FLAIR MRI.
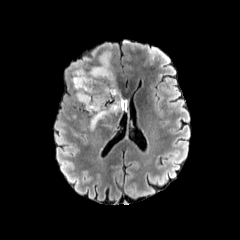
T1-weighted MR image.
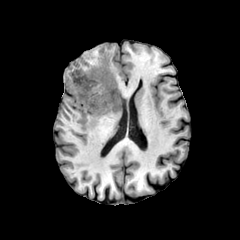
Post-contrast T1-weighted MR.
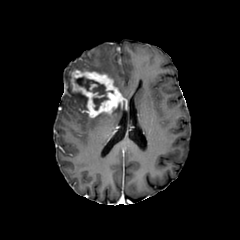
T2-weighted magnetic resonance.
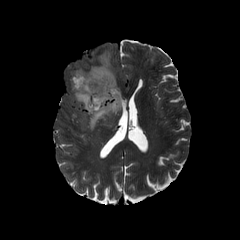
Brain.
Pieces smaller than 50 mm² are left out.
The 4 largest peritumoral edema regions are located at 112, 102, 126, 113; 89, 113, 116, 130; 89, 51, 116, 86; 73, 92, 87, 110. The enhancing tumor is located at 71, 70, 127, 117. The largest necrotic tumor core region is at 75, 77, 107, 110.